FLAIR MR.
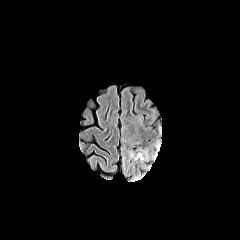
T1-weighted MR.
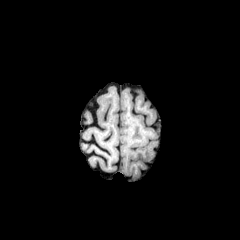
Post-contrast T1-weighted MRI.
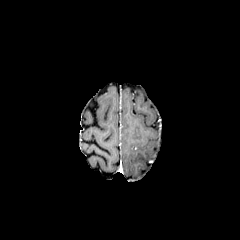
T2-weighted MRI.
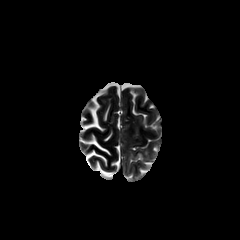
Axial plane
The peritumoral edema appears at bbox=[121, 126, 161, 181].